FLAIR MRI.
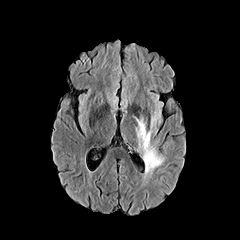
T1-weighted MRI.
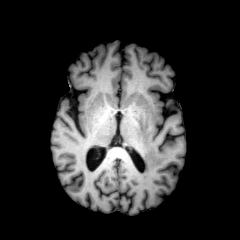
Post-contrast T1-weighted MR.
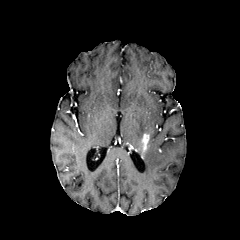
T2-weighted MRI.
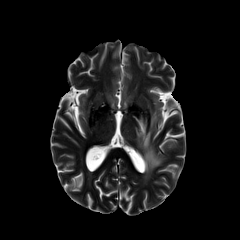
Brain.
2 peritumoral edema regions are located at <box>132,110,165,175</box>, <box>163,138,172,150</box>. The enhancing tumor is bounded by <box>140,133,149,152</box>.